Image size 240x240
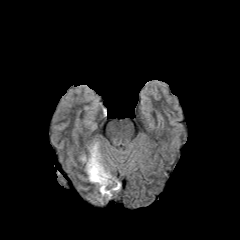
FLAIR MRI.
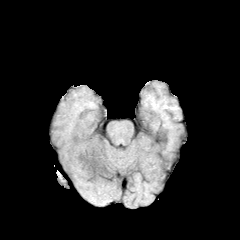
T1-weighted MR.
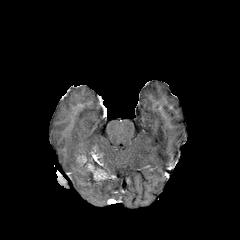
Same slice, post-contrast T1-weighted MR.
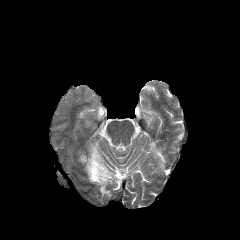
Same slice, T2-weighted magnetic resonance.
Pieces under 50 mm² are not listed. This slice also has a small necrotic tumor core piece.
Segmented structures:
- enhancing tumor: [78, 145, 114, 182]
- peritumoral edema: [85, 165, 120, 201], [87, 142, 100, 158]